Slice 105/155, Image width 240 mm, Axial plane
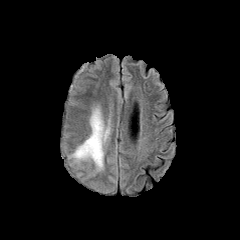
FLAIR MR.
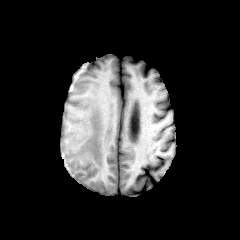
Same slice, T1-weighted MR.
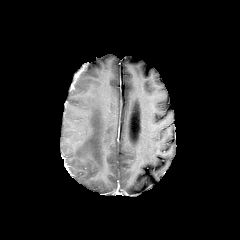
Post-contrast T1-weighted MRI of the same slice.
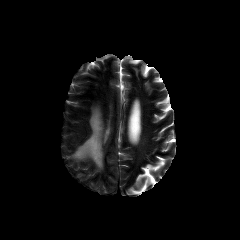
T2-weighted MRI of the same slice.
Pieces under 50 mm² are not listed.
Findings:
- peritumoral edema: box(74, 110, 102, 167)